Slice 105/155; Axial view; Head
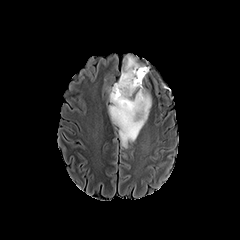
FLAIR magnetic resonance.
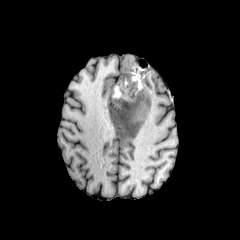
Same slice, T1-weighted magnetic resonance.
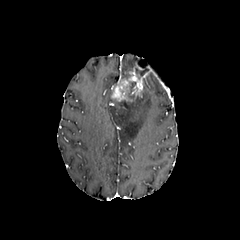
Post-contrast T1-weighted MR image.
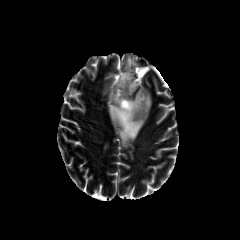
T2-weighted MR of the same slice.
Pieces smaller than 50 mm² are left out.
Annotated regions:
• necrotic tumor core: region(128, 82, 136, 97); region(135, 68, 146, 78); region(114, 100, 130, 115)
• enhancing tumor: region(111, 67, 147, 101)
• peritumoral edema: region(122, 54, 151, 76); region(107, 86, 151, 148)